Head | Slice 112/155 | Axial slice
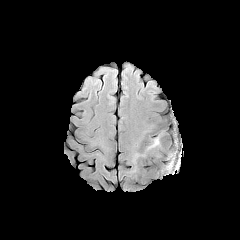
FLAIR MR.
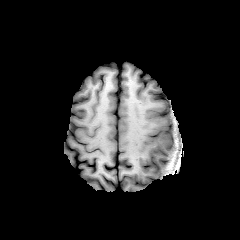
T1-weighted MR.
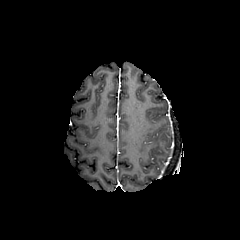
Post-contrast T1-weighted MR of the same slice.
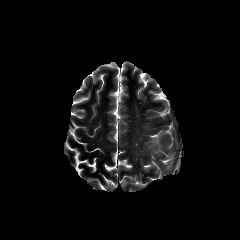
T2-weighted MR of the same slice.
{
  "peritumoral_edema": [
    "box(148, 136, 160, 149)"
  ]
}